FLAIR MR.
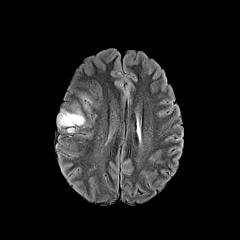
T1-weighted MR image.
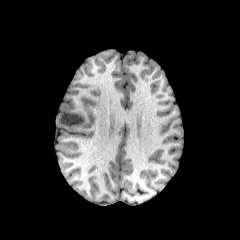
Post-contrast T1-weighted MRI.
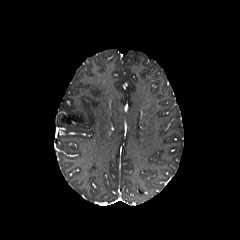
T2-weighted MR.
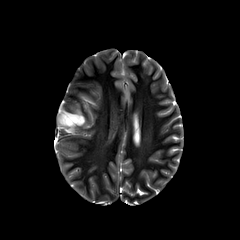
Head
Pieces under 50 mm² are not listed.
peritumoral edema: (x1=58, y1=110, x2=85, y2=131)